FLAIR MR image.
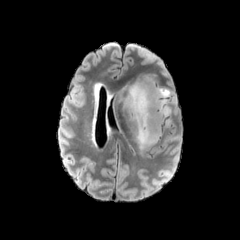
T1-weighted MR image.
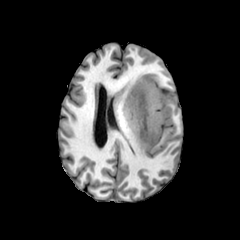
Post-contrast T1-weighted magnetic resonance.
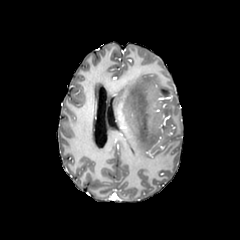
T2-weighted MR.
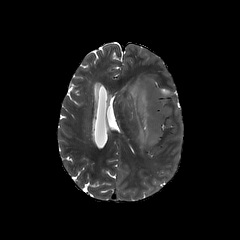
240x240
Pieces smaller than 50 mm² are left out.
The largest peritumoral edema region is at 119,76,171,150.